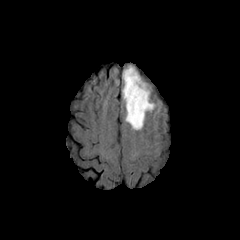
FLAIR magnetic resonance.
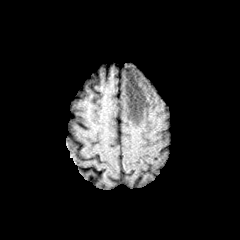
T1-weighted MR.
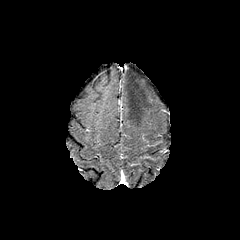
Post-contrast T1-weighted MR.
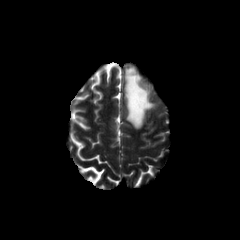
T2-weighted MR image.
The peritumoral edema is at bbox(123, 66, 154, 129).